FLAIR MR image.
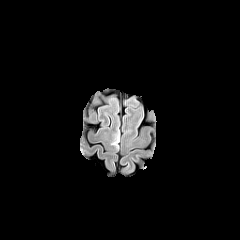
T1-weighted MRI.
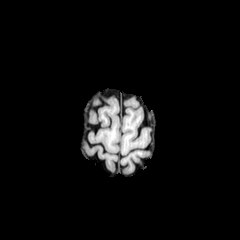
Post-contrast T1-weighted MRI.
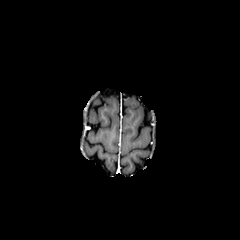
T2-weighted MR.
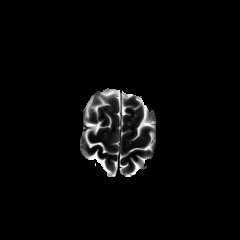
Brain
peritumoral edema — {"x1": 109, "y1": 131, "x2": 119, "y2": 147}